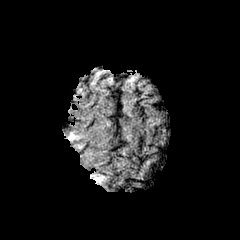
FLAIR MRI.
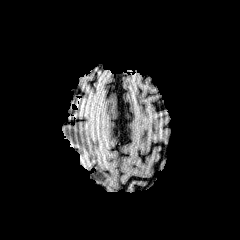
T1-weighted MRI.
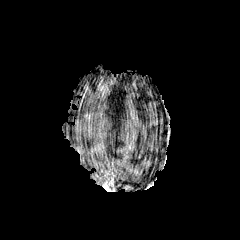
Post-contrast T1-weighted magnetic resonance of the same slice.
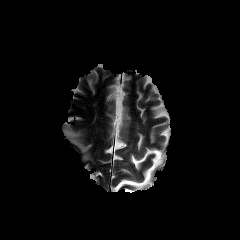
T2-weighted MRI.
Axial slice; Brain
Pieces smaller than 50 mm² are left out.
{"peritumoral_edema": ["<box>68,131,84,142</box>", "<box>90,173,106,183</box>", "<box>85,151,91,160</box>"]}